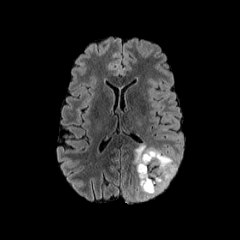
FLAIR MR image.
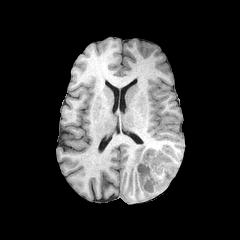
T1-weighted magnetic resonance.
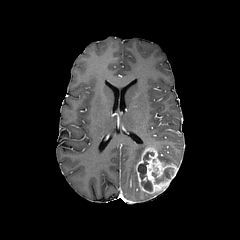
Post-contrast T1-weighted magnetic resonance.
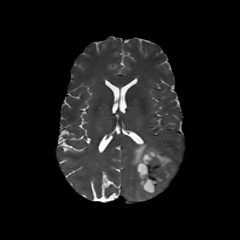
T2-weighted magnetic resonance.
necrotic tumor core: bounding box (149, 159, 173, 183), (138, 152, 154, 192)
enhancing tumor: bounding box (136, 147, 177, 193)
peritumoral edema: bounding box (152, 147, 177, 167), (133, 143, 160, 200)